Head. Image width 240 mm. Axial slice. 240x240 px.
FLAIR magnetic resonance.
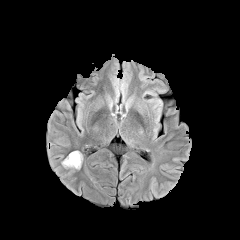
T1-weighted MR image.
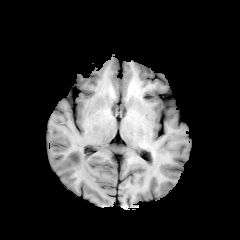
Post-contrast T1-weighted MR.
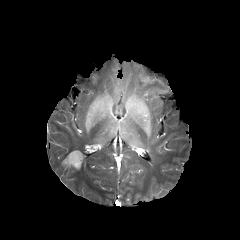
T2-weighted MRI.
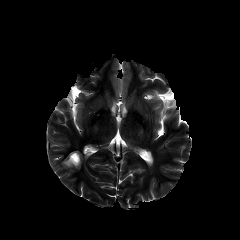
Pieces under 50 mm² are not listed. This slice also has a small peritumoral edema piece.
Findings:
- enhancing tumor: region(63, 151, 82, 168)